Slice 85 of 155. Image size 240x240. Brain.
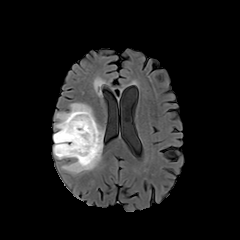
FLAIR MR image.
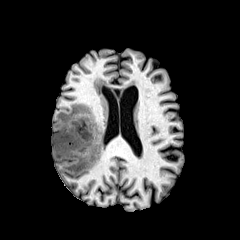
T1-weighted MR image.
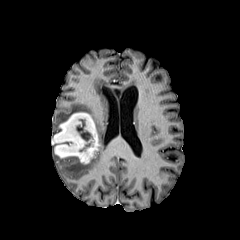
Post-contrast T1-weighted magnetic resonance.
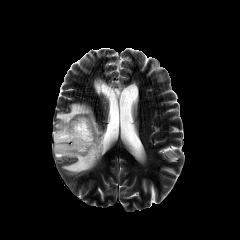
T2-weighted magnetic resonance of the same slice.
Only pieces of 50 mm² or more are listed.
{
  "necrotic_tumor_core": [
    "76 119 92 141"
  ],
  "peritumoral_edema": [
    "54 103 104 174"
  ],
  "enhancing_tumor": [
    "53 112 100 164"
  ]
}